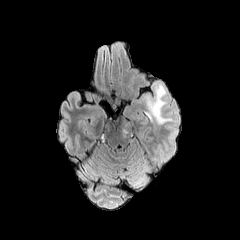
FLAIR magnetic resonance.
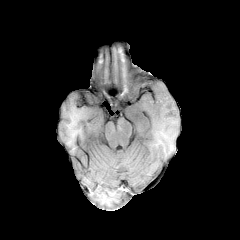
Same slice, T1-weighted MR.
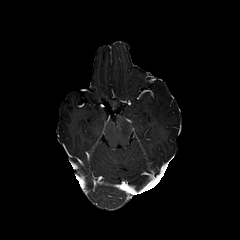
Post-contrast T1-weighted MR image of the same slice.
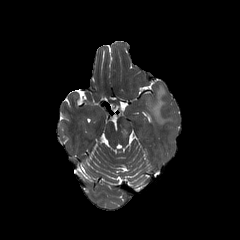
T2-weighted MR image of the same slice.
240x240 px
2 peritumoral edema regions are bounded by [122, 118, 131, 134], [146, 85, 170, 124].